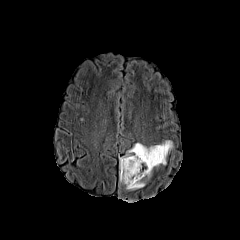
FLAIR magnetic resonance.
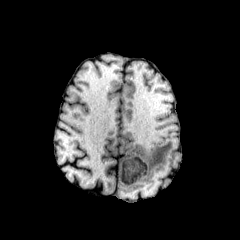
T1-weighted MRI.
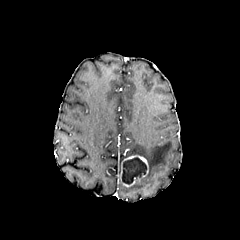
Post-contrast T1-weighted MRI.
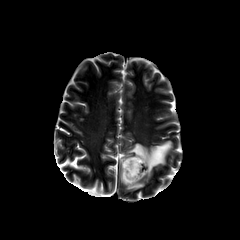
Same slice, T2-weighted magnetic resonance.
Head, Axial view
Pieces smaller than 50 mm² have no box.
enhancing tumor at <bbox>119, 155, 148, 187</bbox>
necrotic tumor core at <bbox>122, 157, 146, 184</bbox>
peritumoral edema at <bbox>125, 180, 145, 190</bbox>, <bbox>120, 140, 173, 178</bbox>